Axial plane; Slice 95 of 155; Brain
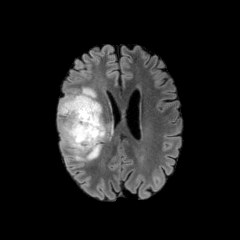
FLAIR MR image.
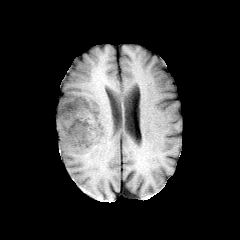
T1-weighted MR image.
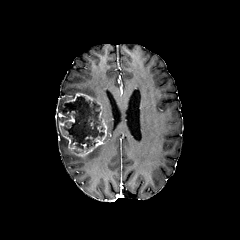
Post-contrast T1-weighted MRI of the same slice.
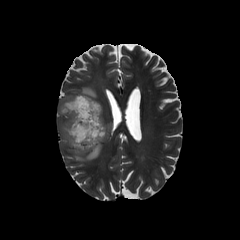
T2-weighted MR.
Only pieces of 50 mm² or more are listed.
enhancing_tumor:
  - 58, 93, 107, 156
peritumoral_edema:
  - 60, 137, 66, 149
  - 104, 124, 112, 141
  - 71, 144, 102, 161
  - 65, 87, 96, 98
necrotic_tumor_core:
  - 60, 96, 104, 149